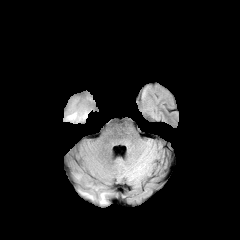
FLAIR MRI.
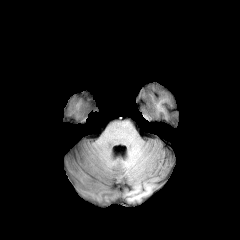
T1-weighted MRI of the same slice.
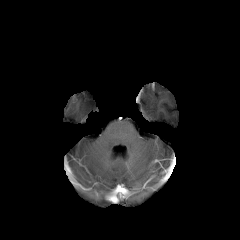
Same slice, post-contrast T1-weighted MRI.
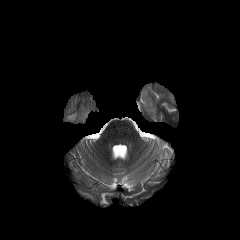
T2-weighted MR.
Axial slice; Head
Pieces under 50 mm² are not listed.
peritumoral edema: (left=67, top=110, right=88, bottom=120)